FLAIR MR image.
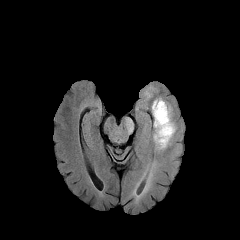
T1-weighted magnetic resonance.
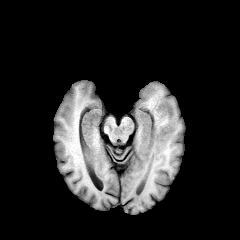
Post-contrast T1-weighted magnetic resonance.
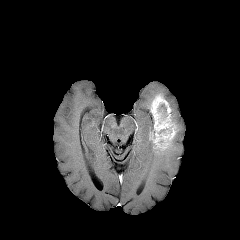
T2-weighted MRI.
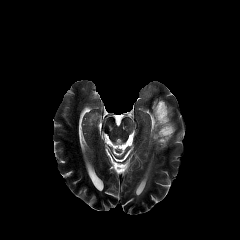
Brain; 240x240 px
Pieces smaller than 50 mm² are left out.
• peritumoral edema: [148, 96, 155, 140]
• necrotic tumor core: [158, 104, 167, 119]
• enhancing tumor: [150, 95, 176, 149]